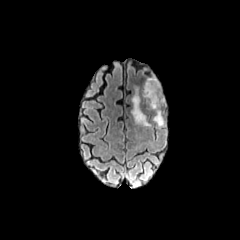
FLAIR MR.
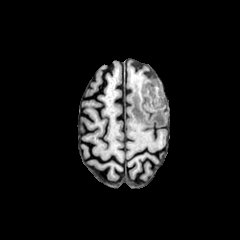
T1-weighted MRI.
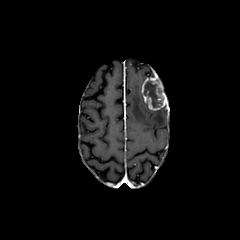
Post-contrast T1-weighted MR.
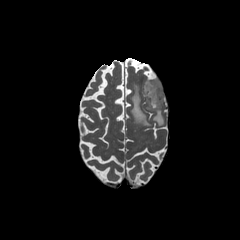
Same slice, T2-weighted MRI.
Head
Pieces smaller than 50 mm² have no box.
Findings:
• necrotic tumor core: bbox(144, 80, 162, 107)
• peritumoral edema: bbox(131, 86, 150, 126); bbox(152, 109, 164, 126)
• enhancing tumor: bbox(141, 77, 166, 110)